FLAIR MR.
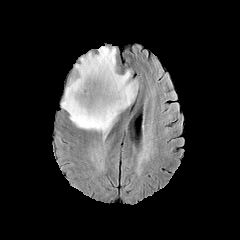
T1-weighted MRI.
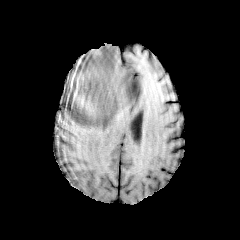
Post-contrast T1-weighted MRI.
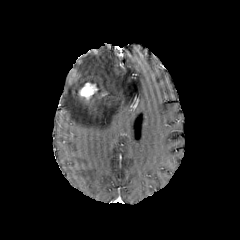
T2-weighted MR image.
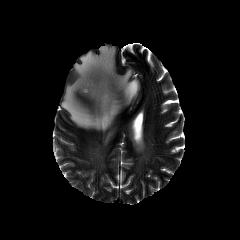
Brain
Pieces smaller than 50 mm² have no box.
peritumoral edema: bounding box box=[61, 46, 138, 136]
enhancing tumor: bounding box box=[79, 82, 98, 99]